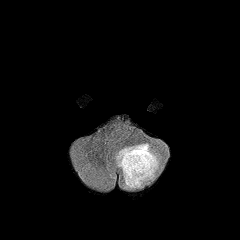
FLAIR MRI.
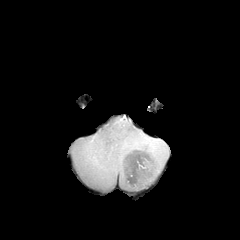
T1-weighted MR of the same slice.
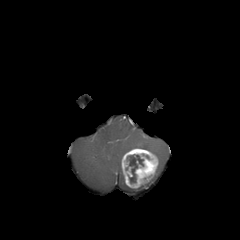
Post-contrast T1-weighted magnetic resonance.
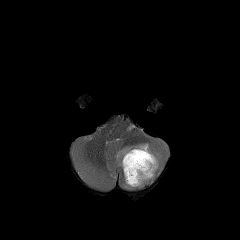
T2-weighted MR image.
Brain; Axial plane
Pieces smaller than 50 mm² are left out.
{"peritumoral_edema": ["[114, 143, 163, 189]"], "necrotic_tumor_core": ["[127, 155, 143, 183]"], "enhancing_tumor": ["[121, 148, 158, 188]"]}